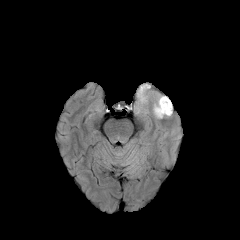
FLAIR MR image.
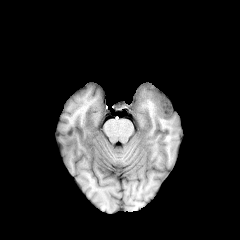
Same slice, T1-weighted MR image.
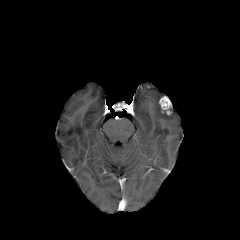
Same slice, post-contrast T1-weighted magnetic resonance.
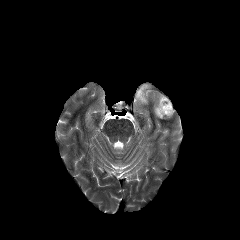
T2-weighted magnetic resonance of the same slice.
Axial plane
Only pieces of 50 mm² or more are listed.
enhancing tumor — (left=159, top=96, right=172, bottom=115)
peritumoral edema — (left=134, top=83, right=172, bottom=118)